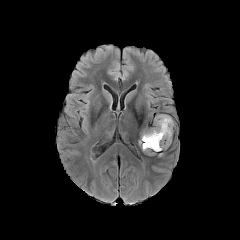
FLAIR magnetic resonance.
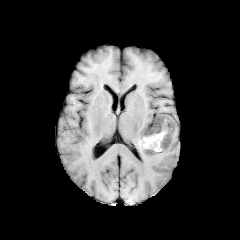
Same slice, T1-weighted magnetic resonance.
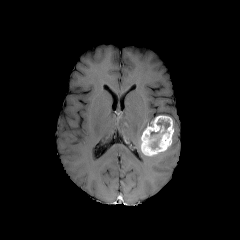
Post-contrast T1-weighted MR of the same slice.
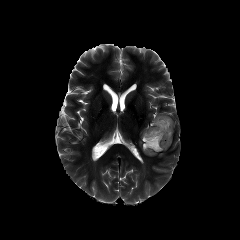
T2-weighted MR.
Axial plane. Head.
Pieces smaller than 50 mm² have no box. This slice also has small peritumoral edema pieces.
necrotic_tumor_core:
  - [x1=158, y1=120, x2=169, y2=129]
  - [x1=151, y1=138, x2=159, y2=148]
enhancing_tumor:
  - [x1=141, y1=115, x2=173, y2=156]